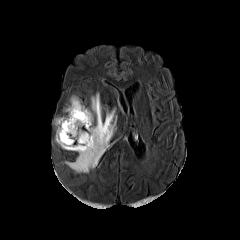
FLAIR MRI.
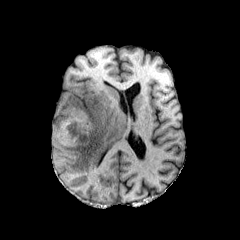
T1-weighted MR.
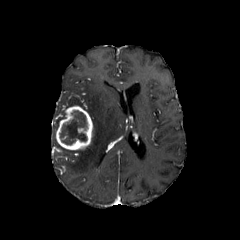
Post-contrast T1-weighted magnetic resonance of the same slice.
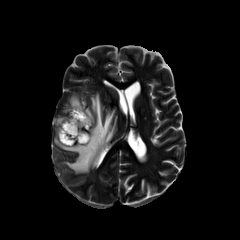
T2-weighted MR image of the same slice.
240x240
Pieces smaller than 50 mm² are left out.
<segmentation>
  <enhancing_tumor>(56, 105, 92, 150)</enhancing_tumor>
  <necrotic_tumor_core>(60, 111, 86, 144)</necrotic_tumor_core>
  <peritumoral_edema>(70, 95, 83, 107), (65, 93, 116, 173)</peritumoral_edema>
</segmentation>